FLAIR magnetic resonance.
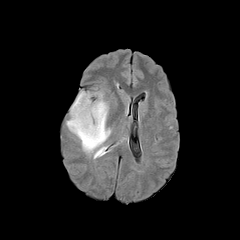
T1-weighted MRI.
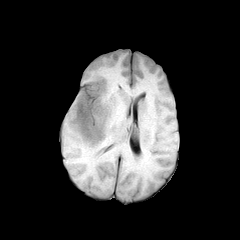
Post-contrast T1-weighted magnetic resonance.
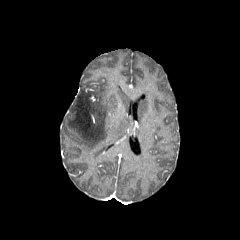
T2-weighted MR image.
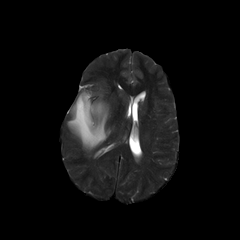
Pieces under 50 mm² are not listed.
peritumoral_edema:
  - (x1=66, y1=91, x2=110, y2=153)